FLAIR MRI.
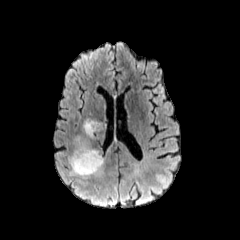
T1-weighted MR.
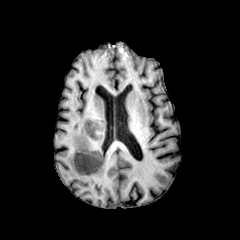
Post-contrast T1-weighted MRI.
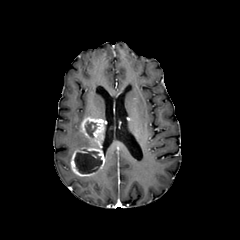
T2-weighted MR.
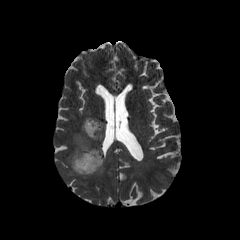
Brain
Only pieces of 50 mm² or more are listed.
peritumoral edema: (x1=69, y1=169, x2=89, y2=178), (x1=75, y1=136, x2=88, y2=148) | enhancing tumor: (x1=70, y1=117, x2=105, y2=176) | necrotic tumor core: (x1=74, y1=149, x2=102, y2=173), (x1=85, y1=122, x2=97, y2=137)